Axial slice. Slice index 87.
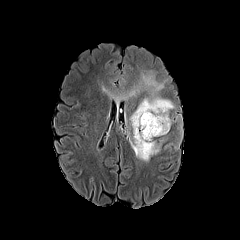
FLAIR magnetic resonance.
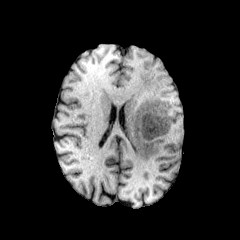
T1-weighted MRI of the same slice.
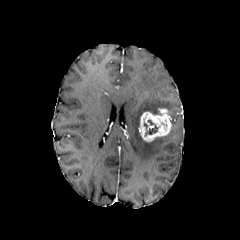
Same slice, post-contrast T1-weighted MRI.
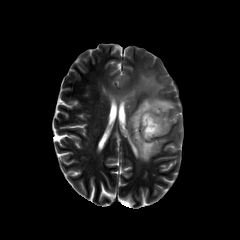
T2-weighted magnetic resonance of the same slice.
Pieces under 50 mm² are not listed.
Findings:
• necrotic tumor core: <box>146,125,157,134</box>
• peritumoral edema: <box>127,73,174,161</box>
• enhancing tumor: <box>138,108,171,141</box>